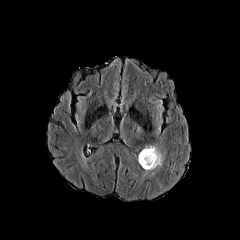
FLAIR MRI.
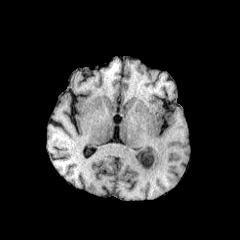
T1-weighted MRI of the same slice.
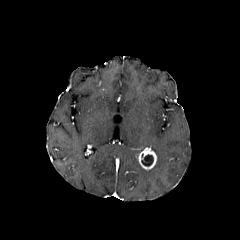
Post-contrast T1-weighted magnetic resonance.
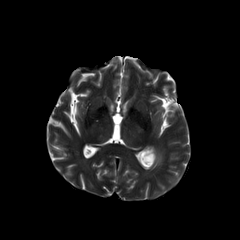
T2-weighted MR image of the same slice.
Axial slice
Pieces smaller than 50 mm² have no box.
necrotic tumor core: <bbox>141, 154, 153, 166</bbox>
peritumoral edema: <bbox>150, 146, 163, 169</bbox>
enhancing tumor: <bbox>138, 147, 156, 169</bbox>